Image width 240 mm
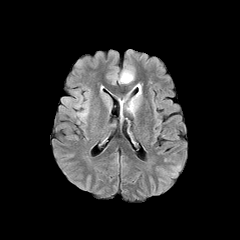
FLAIR MR.
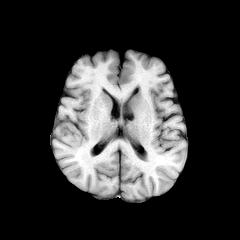
T1-weighted MRI.
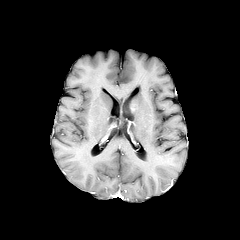
Post-contrast T1-weighted MRI.
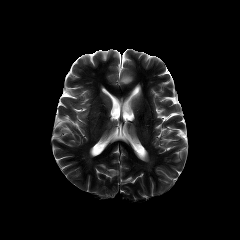
T2-weighted MRI.
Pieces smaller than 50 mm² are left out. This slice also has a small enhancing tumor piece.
Annotated regions:
- peritumoral edema: 128 84 140 112, 119 70 133 83